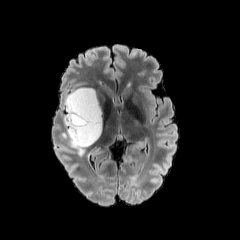
FLAIR MR image.
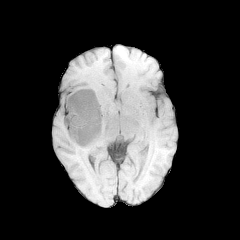
T1-weighted MR image.
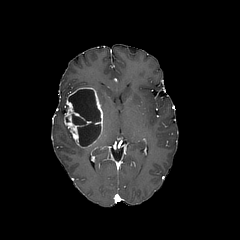
Post-contrast T1-weighted magnetic resonance.
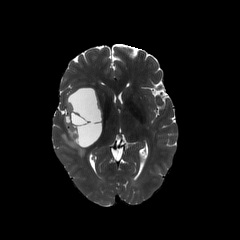
T2-weighted MRI of the same slice.
Head
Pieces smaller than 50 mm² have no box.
enhancing tumor: bounding box 64, 87, 102, 147
peritumoral edema: bounding box 62, 129, 85, 155
necrotic tumor core: bounding box 68, 89, 100, 146